FLAIR MRI.
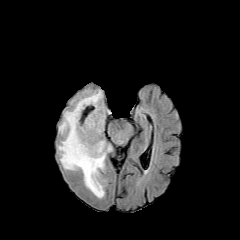
T1-weighted MR.
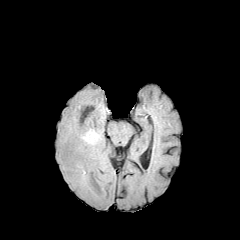
Post-contrast T1-weighted magnetic resonance.
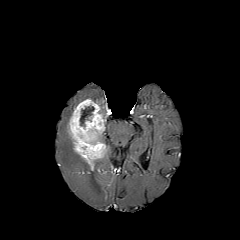
T2-weighted MR image.
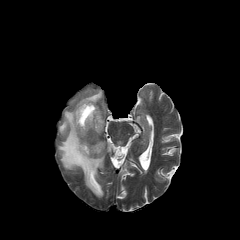
240x240 | Axial view
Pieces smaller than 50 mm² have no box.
The enhancing tumor appears at left=68, top=99, right=108, bottom=170. The largest peritumoral edema region lies within left=57, top=89, right=112, bottom=198. The necrotic tumor core lies within left=80, top=106, right=94, bottom=126.